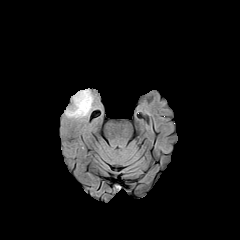
FLAIR MR.
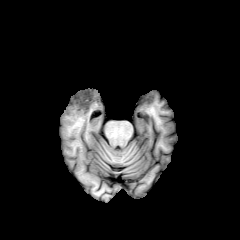
T1-weighted MR of the same slice.
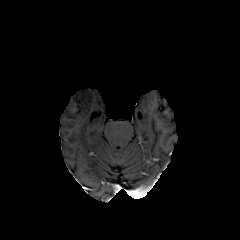
Post-contrast T1-weighted magnetic resonance of the same slice.
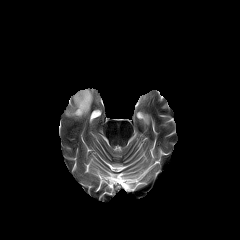
Same slice, T2-weighted MR image.
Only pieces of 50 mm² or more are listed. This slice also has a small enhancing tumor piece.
peritumoral_edema:
  - left=65, top=89, right=93, bottom=119